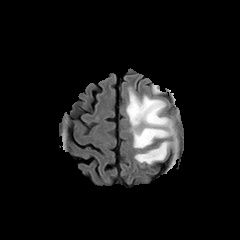
FLAIR magnetic resonance.
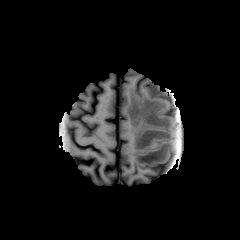
T1-weighted MR.
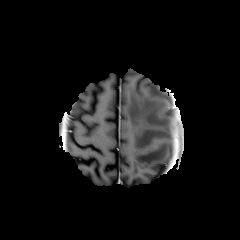
Same slice, post-contrast T1-weighted MR.
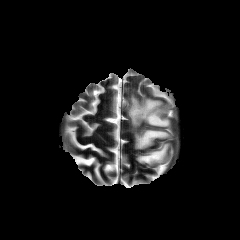
T2-weighted magnetic resonance.
Axial plane
peritumoral edema: left=135, top=141, right=170, bottom=164; left=152, top=85, right=161, bottom=94; left=126, top=90, right=173, bottom=149